Image width 240 mm, Brain, Image size 240x240, Axial slice
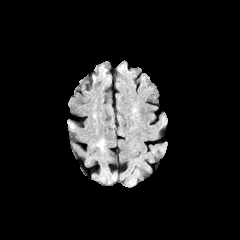
FLAIR MR image.
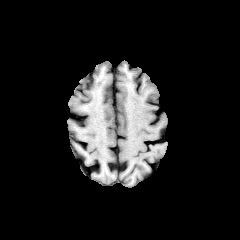
Same slice, T1-weighted MR.
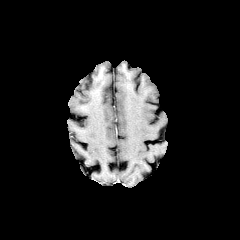
Post-contrast T1-weighted MRI.
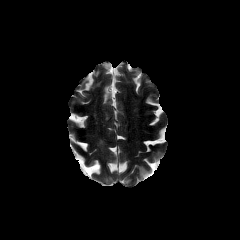
Same slice, T2-weighted MR image.
peritumoral edema: bbox(97, 139, 104, 150)